Brain, Slice index 54
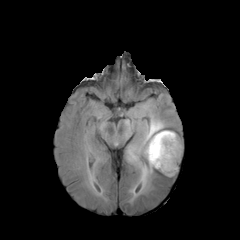
FLAIR magnetic resonance.
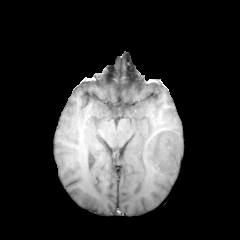
T1-weighted MR of the same slice.
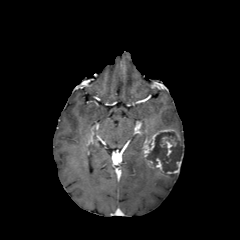
Post-contrast T1-weighted MRI.
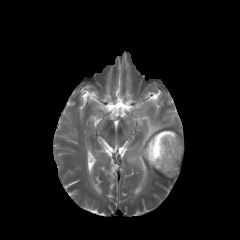
T2-weighted magnetic resonance.
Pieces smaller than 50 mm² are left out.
* necrotic tumor core: {"x1": 147, "y1": 132, "x2": 182, "y2": 171}
* peritumoral edema: {"x1": 127, "y1": 115, "x2": 166, "y2": 201}, {"x1": 136, "y1": 105, "x2": 148, "y2": 119}
* enhancing tumor: {"x1": 142, "y1": 129, "x2": 184, "y2": 174}, {"x1": 160, "y1": 136, "x2": 176, "y2": 156}